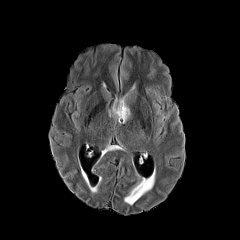
FLAIR magnetic resonance.
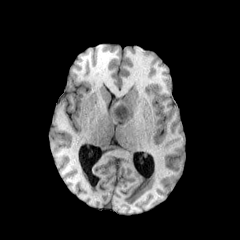
T1-weighted magnetic resonance.
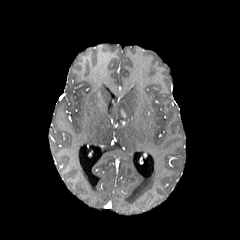
Same slice, post-contrast T1-weighted magnetic resonance.
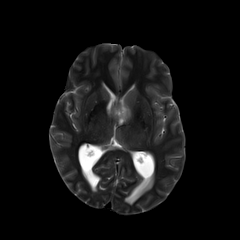
T2-weighted MR of the same slice.
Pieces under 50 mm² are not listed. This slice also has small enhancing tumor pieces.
Annotated regions:
• peritumoral edema: (113,99,129,121)